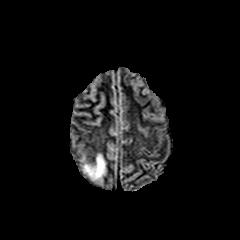
FLAIR MR image.
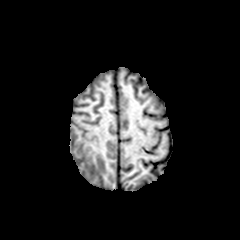
T1-weighted MRI of the same slice.
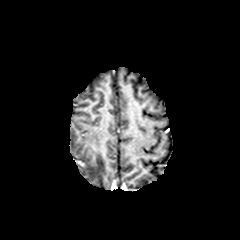
Post-contrast T1-weighted MR image of the same slice.
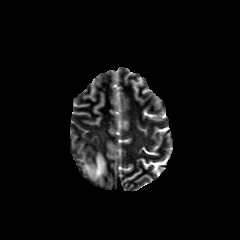
T2-weighted MRI.
Image size 240x240. Brain.
The peritumoral edema appears at <box>84,154,105,179</box>.